Axial view, Image covers 240 mm x 240 mm, Slice 82 of 155, Brain
FLAIR magnetic resonance.
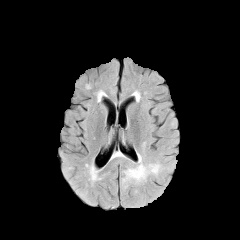
T1-weighted magnetic resonance.
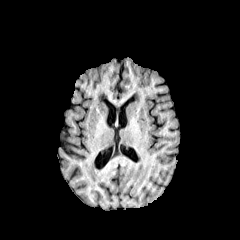
Post-contrast T1-weighted MRI.
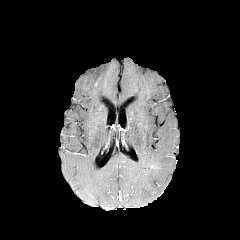
T2-weighted magnetic resonance.
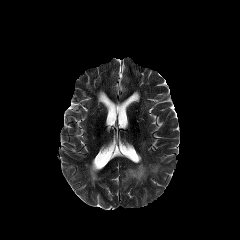
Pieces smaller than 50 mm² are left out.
The largest peritumoral edema region is at box=[122, 154, 163, 184].